Axial slice. Head.
FLAIR magnetic resonance.
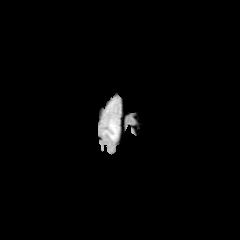
T1-weighted MR image.
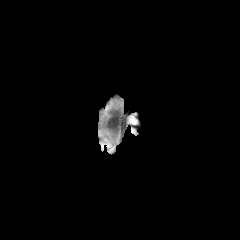
Post-contrast T1-weighted MR.
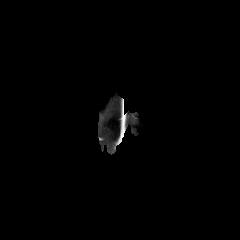
T2-weighted magnetic resonance.
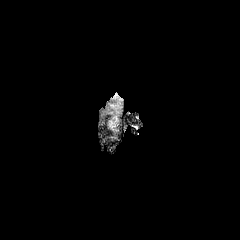
• peritumoral edema: 102:100:119:140